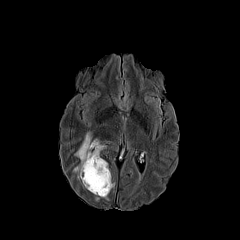
FLAIR MR.
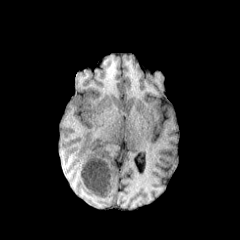
T1-weighted MRI of the same slice.
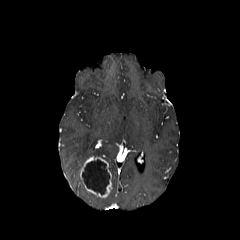
Post-contrast T1-weighted MRI of the same slice.
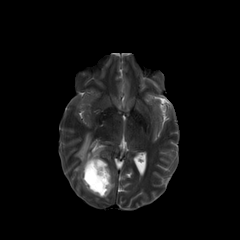
T2-weighted MR image.
Axial slice | Brain
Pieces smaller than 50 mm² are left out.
peritumoral_edema:
  - bbox=[74, 132, 105, 178]
enhancing_tumor:
  - bbox=[80, 155, 112, 197]
necrotic_tumor_core:
  - bbox=[82, 159, 109, 194]